Image width 240 mm, Axial slice
FLAIR MR.
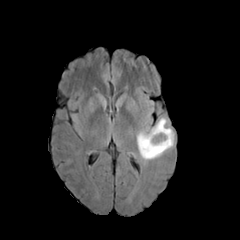
T1-weighted magnetic resonance.
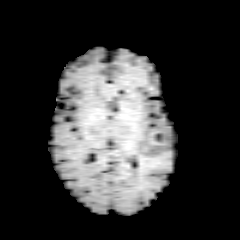
Post-contrast T1-weighted MR image.
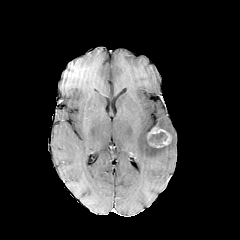
T2-weighted MRI.
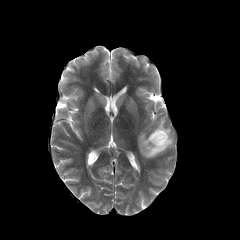
peritumoral edema — box(137, 118, 174, 159)
enhancing tumor — box(148, 127, 171, 147)
necrotic tumor core — box(150, 132, 166, 144)